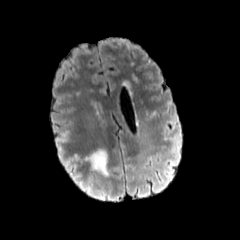
FLAIR MRI.
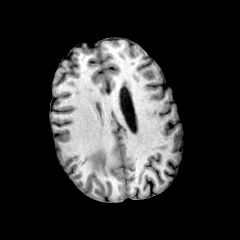
T1-weighted MR.
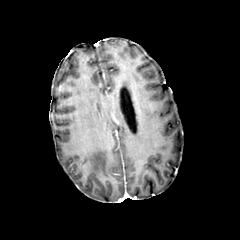
Post-contrast T1-weighted MR.
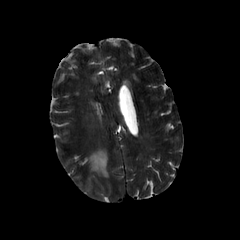
T2-weighted magnetic resonance.
Image size 240x240
Annotated regions:
* peritumoral edema: x1=86 y1=149 x2=108 y2=176